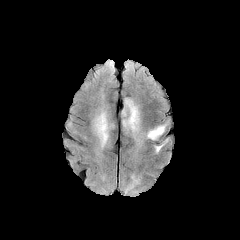
FLAIR MR.
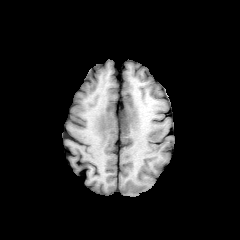
T1-weighted MR image of the same slice.
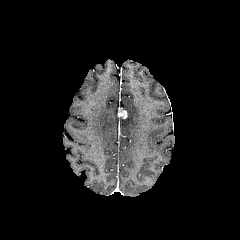
Post-contrast T1-weighted magnetic resonance.
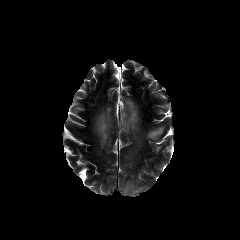
T2-weighted MRI.
Axial view
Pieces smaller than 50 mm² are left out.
<segmentation>
  <enhancing_tumor>[x1=120, y1=110, x2=127, y2=118]</enhancing_tumor>
  <peritumoral_edema>[x1=94, y1=110, x2=112, y2=147], [x1=125, y1=177, x2=138, y2=192], [x1=122, y1=98, x2=139, y2=136], [x1=147, y1=125, x2=165, y2=139]</peritumoral_edema>
</segmentation>